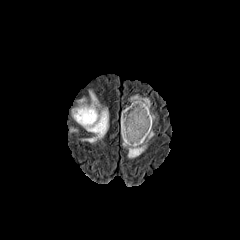
FLAIR MRI.
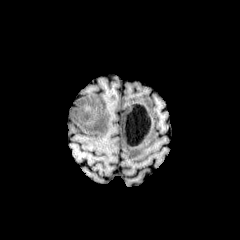
T1-weighted MRI.
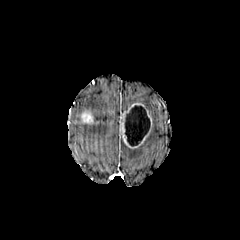
Post-contrast T1-weighted MRI.
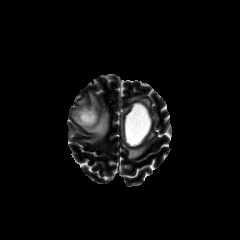
T2-weighted MR.
240x240
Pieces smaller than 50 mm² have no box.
Annotated regions:
• necrotic tumor core: rect(125, 105, 150, 146)
• peritumoral edema: rect(122, 130, 154, 158); rect(72, 91, 108, 143); rect(130, 95, 154, 119)
• enhancing tumor: rect(76, 109, 94, 124); rect(120, 102, 152, 148)